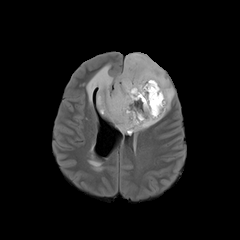
FLAIR MR.
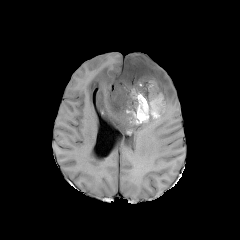
T1-weighted MR image of the same slice.
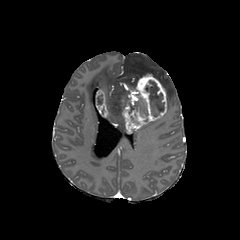
Post-contrast T1-weighted MRI.
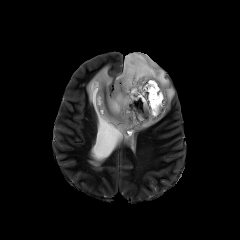
T2-weighted MR of the same slice.
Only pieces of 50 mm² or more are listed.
enhancing tumor: 96,89,108,117; 121,73,166,133 | necrotic tumor core: 129,97,148,116; 145,80,164,116 | peritumoral edema: 86,53,174,133; 133,118,161,132